Image size 240x240, Slice 32 of 155
FLAIR MR image.
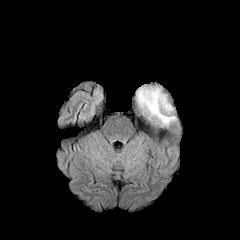
T1-weighted MRI.
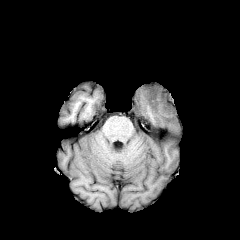
Post-contrast T1-weighted MR image.
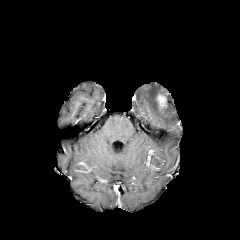
T2-weighted magnetic resonance.
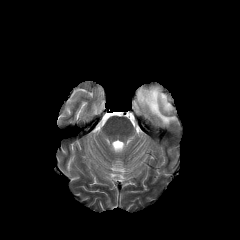
<segmentation>
  <enhancing_tumor>x1=157 y1=94 x2=166 y2=106</enhancing_tumor>
  <peritumoral_edema>x1=136 y1=86 x2=176 y2=126</peritumoral_edema>
</segmentation>